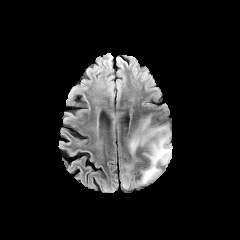
FLAIR magnetic resonance.
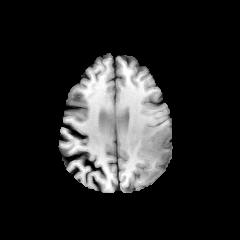
T1-weighted MR image.
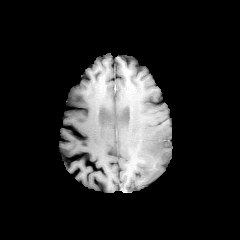
Post-contrast T1-weighted MR.
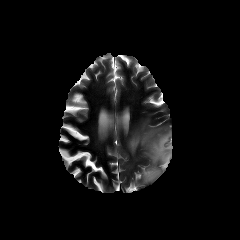
Same slice, T2-weighted MR.
Axial view.
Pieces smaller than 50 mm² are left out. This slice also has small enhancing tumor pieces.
The largest peritumoral edema region is located at bbox(129, 119, 172, 183). The largest necrotic tumor core region is at bbox(161, 139, 169, 149).